Image width 240 mm, 1.00 mm slice spacing; Slice 74/155
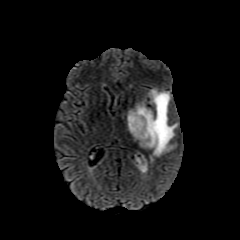
FLAIR MR image.
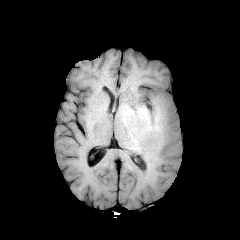
Same slice, T1-weighted magnetic resonance.
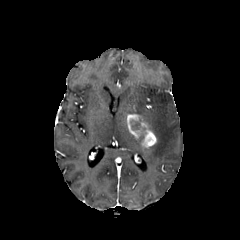
Same slice, post-contrast T1-weighted MRI.
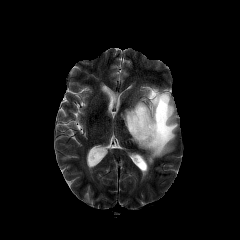
T2-weighted MRI.
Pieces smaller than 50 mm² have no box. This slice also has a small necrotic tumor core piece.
<segmentation>
  <enhancing_tumor>[127, 114, 157, 148]</enhancing_tumor>
  <peritumoral_edema>[133, 136, 143, 147], [127, 88, 178, 162]</peritumoral_edema>
</segmentation>